Image size 240x240; Slice index 43; Axial slice
FLAIR magnetic resonance.
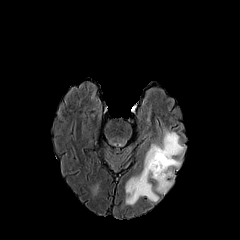
T1-weighted MR.
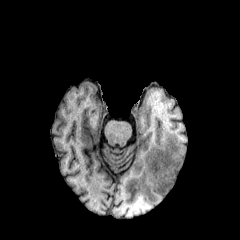
Post-contrast T1-weighted MRI.
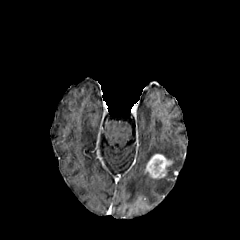
T2-weighted magnetic resonance.
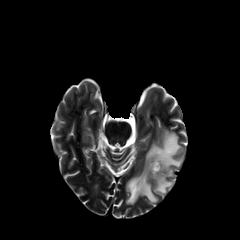
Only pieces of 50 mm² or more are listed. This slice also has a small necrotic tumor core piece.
The peritumoral edema appears at 125:129:183:204. The enhancing tumor is bounded by 145:154:172:178.